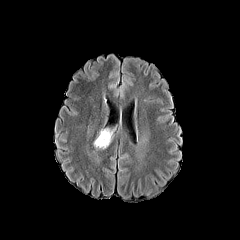
FLAIR MR.
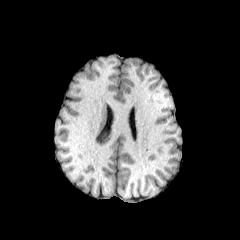
Same slice, T1-weighted MRI.
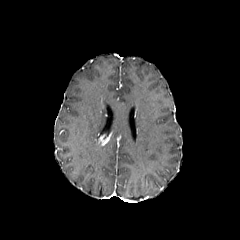
Post-contrast T1-weighted magnetic resonance.
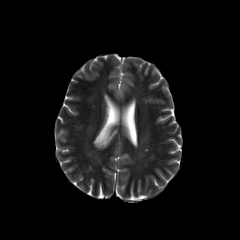
T2-weighted magnetic resonance.
Axial plane, Head
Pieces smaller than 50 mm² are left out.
{"enhancing_tumor": ["region(98, 134, 111, 145)"], "peritumoral_edema": ["region(94, 136, 112, 148)"]}